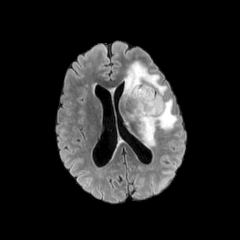
FLAIR MR.
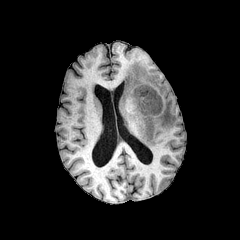
Same slice, T1-weighted MR image.
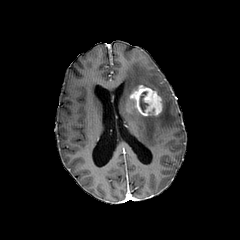
Post-contrast T1-weighted MR.
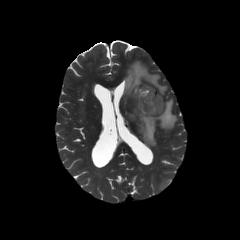
T2-weighted MR.
Axial plane
Segmented structures:
• necrotic tumor core: [140, 92, 148, 111]
• peritumoral edema: [124, 61, 166, 99], [129, 98, 177, 146]
• enhancing tumor: [130, 85, 162, 115]